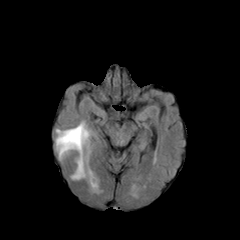
FLAIR MR image.
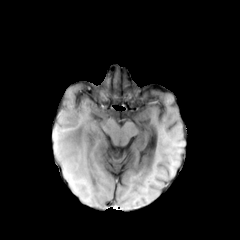
T1-weighted MRI.
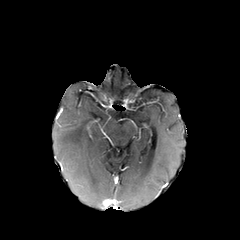
Post-contrast T1-weighted MRI.
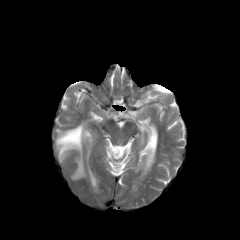
Same slice, T2-weighted MR image.
240x240 px. Brain. Axial plane.
{
  "peritumoral_edema": [
    "<box>88,168,96,187</box>",
    "<box>56,121,90,179</box>"
  ]
}